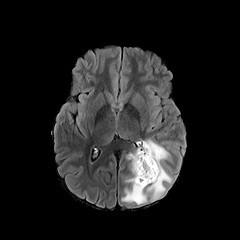
FLAIR MR image.
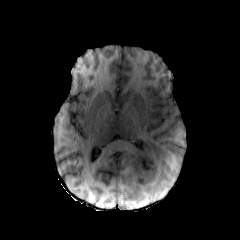
Same slice, T1-weighted MR image.
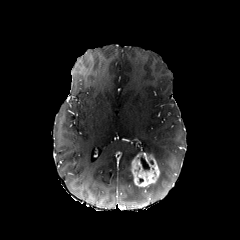
Post-contrast T1-weighted MRI.
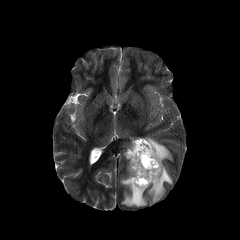
T2-weighted MR.
240x240.
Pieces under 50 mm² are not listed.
The largest peritumoral edema region is located at 120,138,172,204. The enhancing tumor is located at 130,152,159,187. The largest necrotic tumor core region is bounded by 140,155,149,169.